Axial view, 240x240 px, Slice 114/155
FLAIR magnetic resonance.
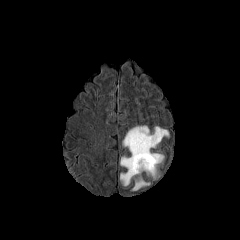
T1-weighted magnetic resonance.
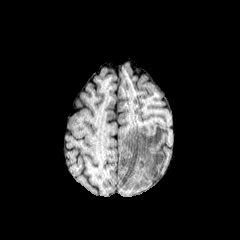
Post-contrast T1-weighted MR.
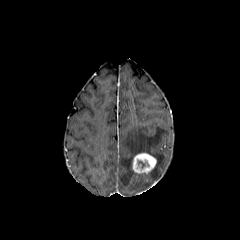
T2-weighted MR image.
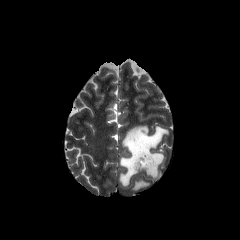
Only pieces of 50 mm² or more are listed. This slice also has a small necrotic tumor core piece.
The enhancing tumor lies within region(132, 153, 156, 173). 2 peritumoral edema regions are bounded by region(120, 124, 170, 186); region(130, 176, 151, 191).